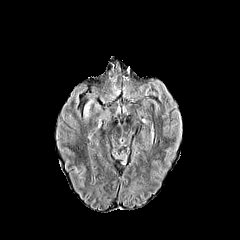
FLAIR MR image.
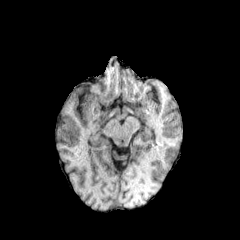
T1-weighted magnetic resonance.
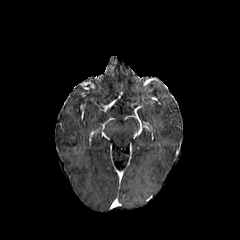
Same slice, post-contrast T1-weighted MR image.
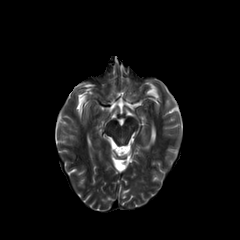
T2-weighted MR image.
Image size 240x240
peritumoral edema: bounding box (left=85, top=102, right=90, bottom=115)